FLAIR MRI.
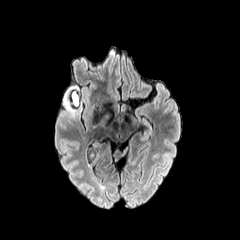
T1-weighted MR.
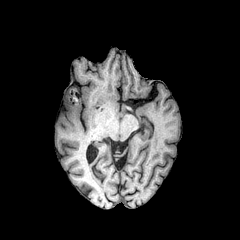
Post-contrast T1-weighted MR.
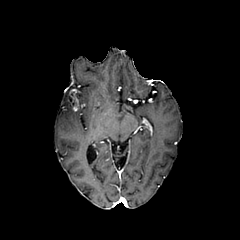
T2-weighted MR image.
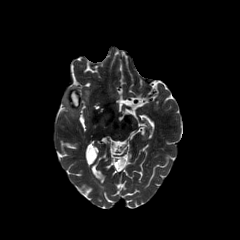
240x240 px | Head
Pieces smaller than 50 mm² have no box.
The largest peritumoral edema region is located at [64,86,79,116]. The enhancing tumor appears at [71,90,78,111].